FLAIR MR image.
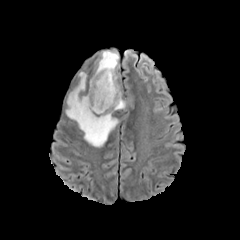
T1-weighted MRI.
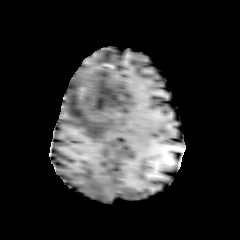
Post-contrast T1-weighted MR.
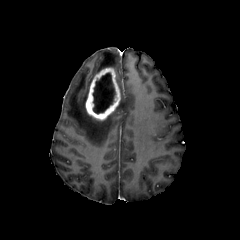
T2-weighted MRI.
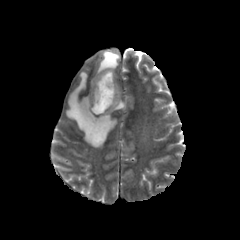
Head | Image size 240x240
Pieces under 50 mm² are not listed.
necrotic_tumor_core:
  - <bbox>93, 73, 115, 113</bbox>
enhancing_tumor:
  - <bbox>85, 67, 120, 120</bbox>
peritumoral_edema:
  - <bbox>66, 72, 118, 147</bbox>
  - <bbox>96, 50, 119, 73</bbox>
  - <bbox>116, 99, 125, 109</bbox>